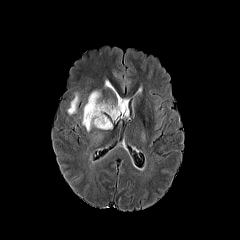
FLAIR MRI.
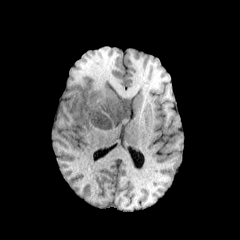
T1-weighted magnetic resonance.
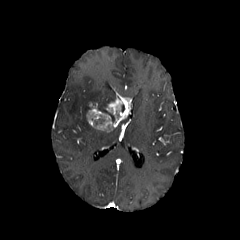
Same slice, post-contrast T1-weighted MR image.
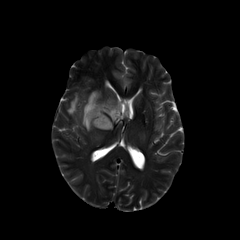
T2-weighted MRI.
Head, 240x240 px
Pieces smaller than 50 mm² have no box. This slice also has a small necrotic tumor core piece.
enhancing tumor: left=86, top=93, right=130, bottom=130
peritumoral edema: left=82, top=90, right=106, bottom=131; left=67, top=93, right=79, bottom=114